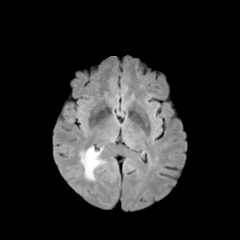
FLAIR MR.
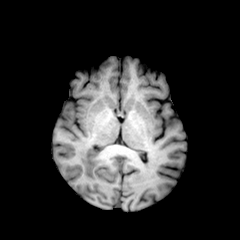
T1-weighted MR image.
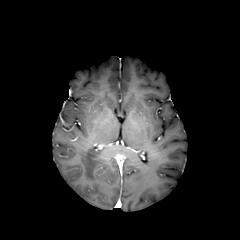
Post-contrast T1-weighted magnetic resonance.
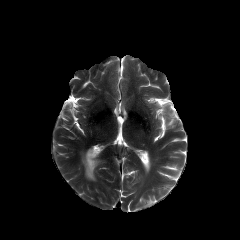
T2-weighted MR.
Head
peritumoral_edema:
  - (left=80, top=147, right=104, bottom=180)